Slice index 54, 240x240 px
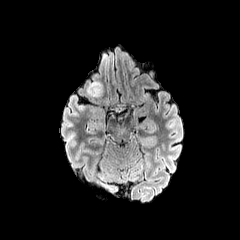
FLAIR MR.
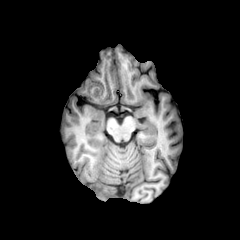
T1-weighted MRI of the same slice.
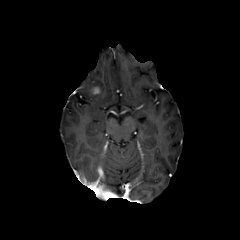
Post-contrast T1-weighted MRI of the same slice.
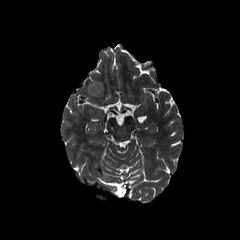
T2-weighted magnetic resonance.
enhancing tumor = rect(90, 86, 101, 94)
peritumoral edema = rect(87, 81, 103, 97)